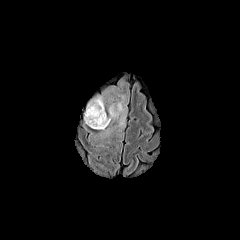
FLAIR magnetic resonance.
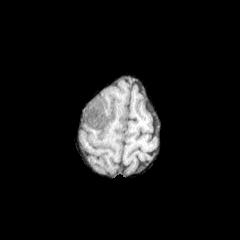
T1-weighted MR.
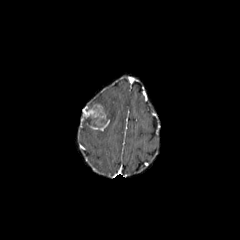
Post-contrast T1-weighted MR image.
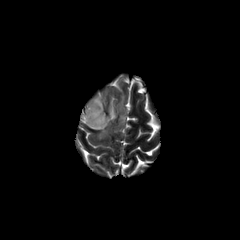
T2-weighted MR.
Image size 240x240 | Brain
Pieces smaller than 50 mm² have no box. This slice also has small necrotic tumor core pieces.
peritumoral edema at bbox=[99, 127, 111, 136]; bbox=[107, 95, 126, 131]; bbox=[88, 95, 105, 110]
enhancing tumor at bbox=[84, 103, 109, 130]